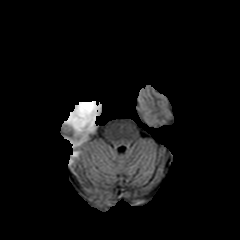
FLAIR magnetic resonance.
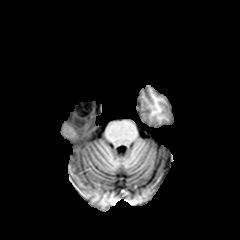
T1-weighted MR.
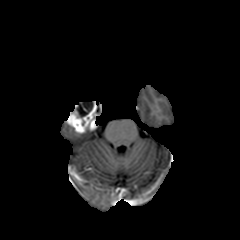
Post-contrast T1-weighted MR.
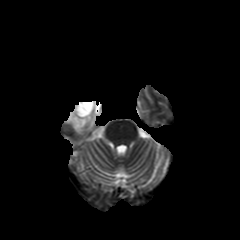
T2-weighted MR image.
240x240 px
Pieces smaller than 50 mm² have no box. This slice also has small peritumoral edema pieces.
{"enhancing_tumor": [{"x1": 66, "y1": 101, "x2": 97, "y2": 133}], "necrotic_tumor_core": [{"x1": 76, "y1": 103, "x2": 93, "y2": 117}]}